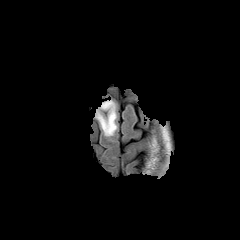
FLAIR MRI.
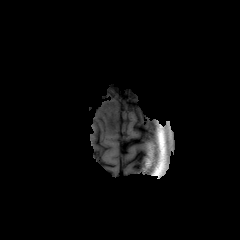
T1-weighted MR image.
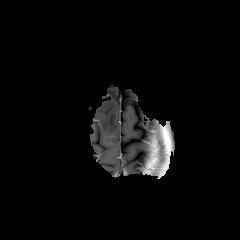
Same slice, post-contrast T1-weighted MRI.
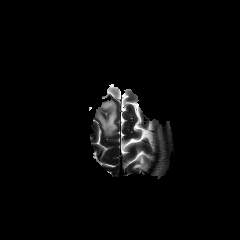
T2-weighted MRI.
* peritumoral edema: box(95, 100, 117, 137)